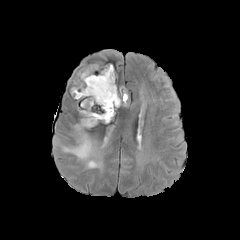
FLAIR MR image.
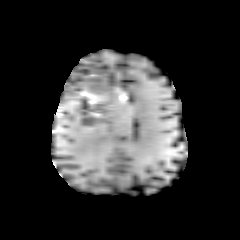
T1-weighted MR image of the same slice.
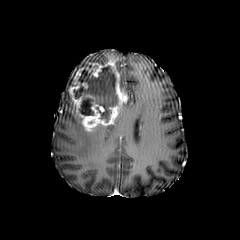
Post-contrast T1-weighted MR image.
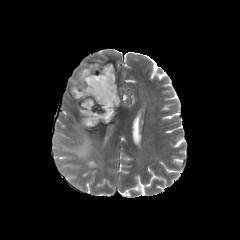
T2-weighted MR of the same slice.
Head; 240x240 px
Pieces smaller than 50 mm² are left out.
Segmented structures:
- necrotic tumor core: <bbox>74, 65, 117, 122</bbox>
- enhancing tumor: <bbox>68, 63, 127, 129</bbox>
- peritumoral edema: <bbox>61, 121, 101, 168</bbox>